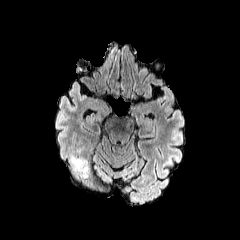
FLAIR magnetic resonance.
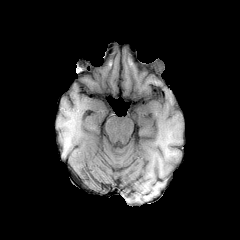
T1-weighted magnetic resonance of the same slice.
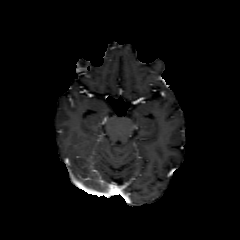
Post-contrast T1-weighted MR.
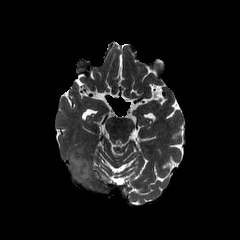
T2-weighted magnetic resonance.
Image size 240x240
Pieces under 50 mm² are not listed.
{"peritumoral_edema": ["(71,155,86,173)"]}